Slice 57 of 155; Brain
FLAIR MR image.
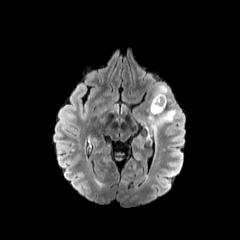
T1-weighted magnetic resonance.
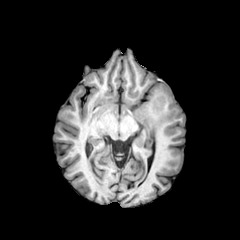
Post-contrast T1-weighted MR.
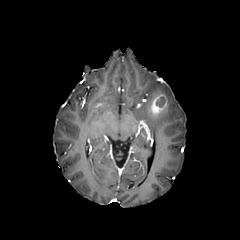
T2-weighted magnetic resonance.
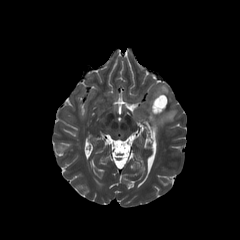
Findings:
* necrotic tumor core: region(156, 97, 164, 106)
* enhancing tumor: region(150, 94, 167, 115)
* peritumoral edema: region(148, 84, 176, 129)